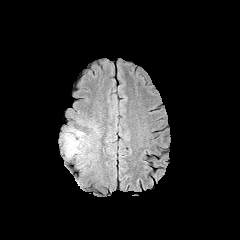
FLAIR MR.
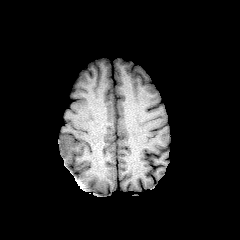
T1-weighted magnetic resonance.
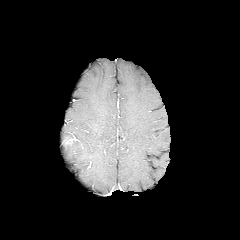
Same slice, post-contrast T1-weighted MR.
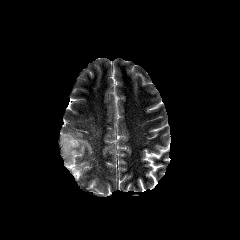
T2-weighted magnetic resonance of the same slice.
Brain; Image size 240x240; Axial view
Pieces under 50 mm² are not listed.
peritumoral_edema:
  - 60 128 92 172
enhancing_tumor:
  - 63 137 76 145